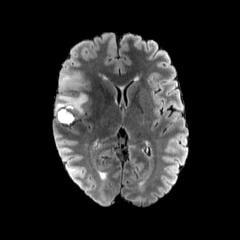
FLAIR MR image.
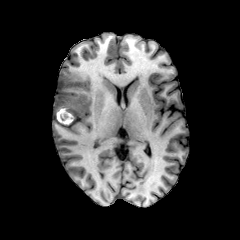
T1-weighted MR.
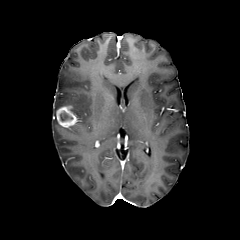
Same slice, post-contrast T1-weighted MR.
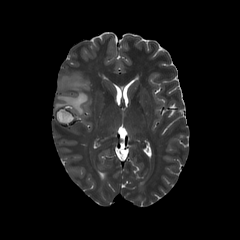
T2-weighted MRI of the same slice.
Axial slice
The enhancing tumor appears at box=[56, 105, 76, 126]. The peritumoral edema is at box=[55, 72, 88, 115]. The necrotic tumor core is at box=[60, 112, 72, 121].